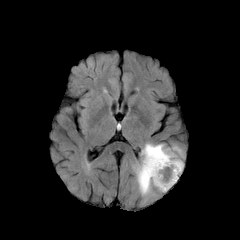
FLAIR MRI.
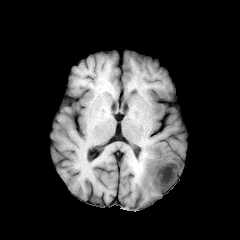
T1-weighted magnetic resonance of the same slice.
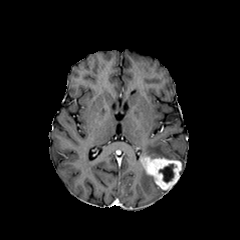
Post-contrast T1-weighted MRI.
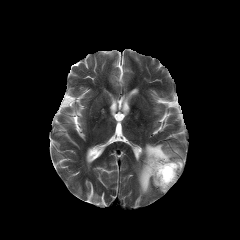
Same slice, T2-weighted MR image.
Image size 240x240
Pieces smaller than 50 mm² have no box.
Findings:
* necrotic tumor core: <bbox>159, 164, 173, 182</bbox>
* peritumoral edema: <bbox>141, 143, 183, 167</bbox>, <bbox>136, 161, 166, 195</bbox>
* enhancing tumor: <bbox>142, 156, 182, 190</bbox>